Axial view. Slice index 84.
FLAIR MRI.
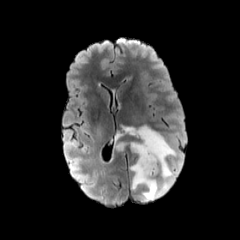
T1-weighted MR.
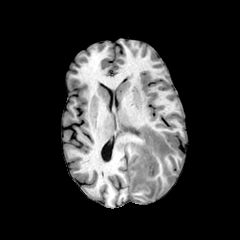
Post-contrast T1-weighted MR.
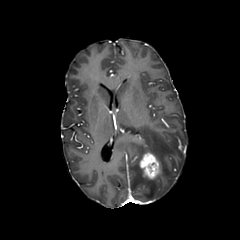
T2-weighted MR.
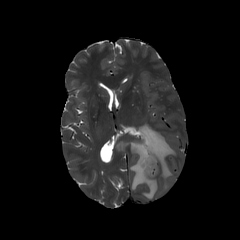
{
  "peritumoral_edema": [
    "x1=130 y1=125 x2=176 y2=200",
    "x1=116 y1=141 x2=128 y2=150"
  ],
  "enhancing_tumor": [
    "x1=139 y1=152 x2=159 y2=178"
  ]
}